Image covers 240 mm x 240 mm, Slice 137 of 155, 240x240
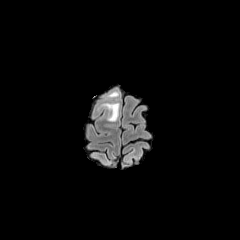
FLAIR MR image.
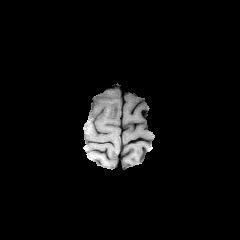
Same slice, T1-weighted MR.
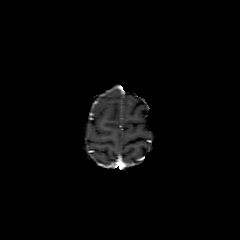
Post-contrast T1-weighted MR.
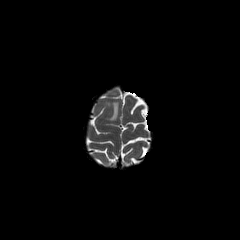
T2-weighted MR image.
2 peritumoral edema regions are bounded by bbox=[107, 91, 117, 97]; bbox=[101, 102, 119, 121].